Image size 240x240, Head, Slice 49/155
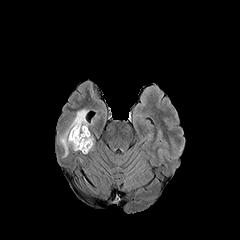
FLAIR magnetic resonance.
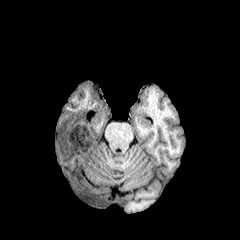
T1-weighted MR image.
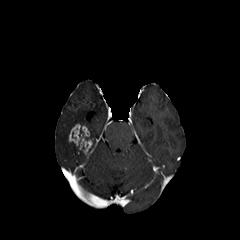
Post-contrast T1-weighted MRI.
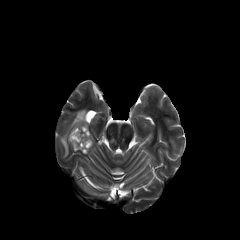
T2-weighted MR image of the same slice.
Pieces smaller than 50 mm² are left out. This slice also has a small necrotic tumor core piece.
enhancing_tumor:
  - <box>69,123,92,153</box>
peritumoral_edema:
  - <box>59,109,89,157</box>